FLAIR magnetic resonance.
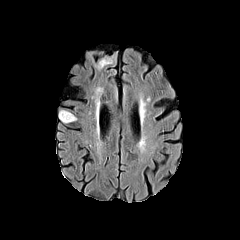
T1-weighted MRI.
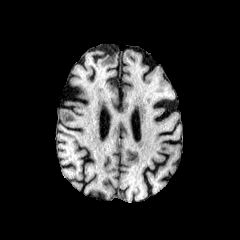
Post-contrast T1-weighted MR.
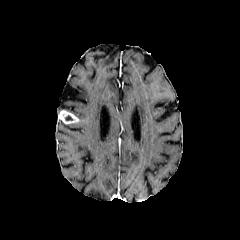
T2-weighted MR image.
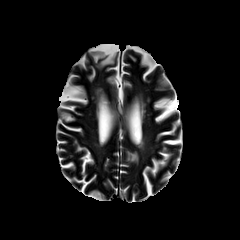
Head
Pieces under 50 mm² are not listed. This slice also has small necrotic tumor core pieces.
enhancing tumor = (58,110,80,124)